Axial plane. Head.
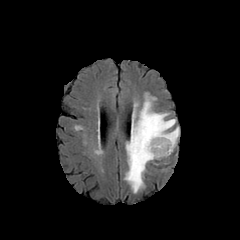
FLAIR MR image.
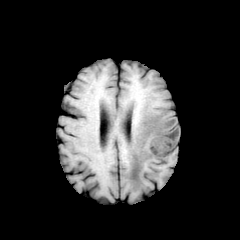
T1-weighted MR of the same slice.
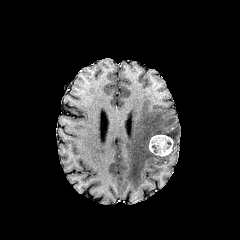
Post-contrast T1-weighted MR image of the same slice.
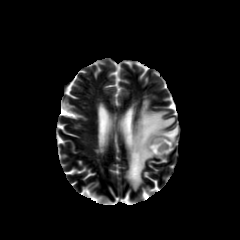
T2-weighted MR image.
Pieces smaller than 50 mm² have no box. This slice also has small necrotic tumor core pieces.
<segmentation>
  <peritumoral_edema>(left=124, top=94, right=179, bottom=192)</peritumoral_edema>
  <enhancing_tumor>(left=148, top=134, right=173, bottom=156)</enhancing_tumor>
</segmentation>